Slice 93 of 155; Head
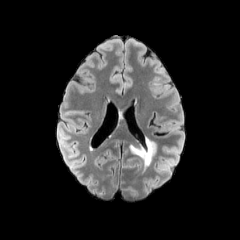
FLAIR MR image.
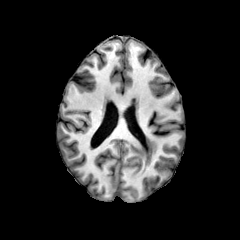
T1-weighted MR image.
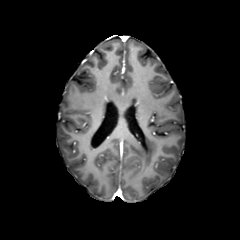
Post-contrast T1-weighted magnetic resonance.
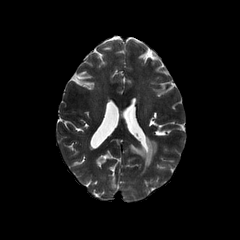
Same slice, T2-weighted MR image.
peritumoral edema: (left=128, top=136, right=157, bottom=172)